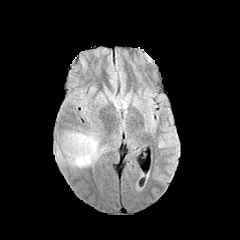
FLAIR MR.
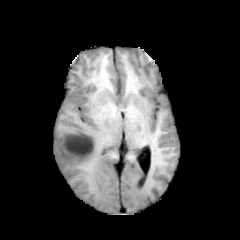
Same slice, T1-weighted magnetic resonance.
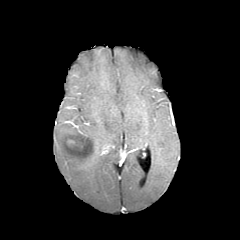
Post-contrast T1-weighted MR of the same slice.
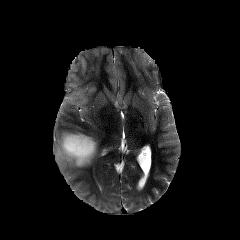
T2-weighted MRI of the same slice.
Axial view; Brain; 240x240
The enhancing tumor is bounded by <box>67,138,86,153</box>. The peritumoral edema lies within <box>55,131,103,167</box>.